Slice 119/155
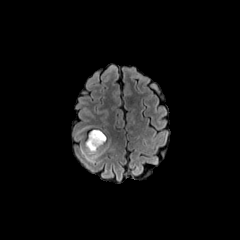
FLAIR magnetic resonance.
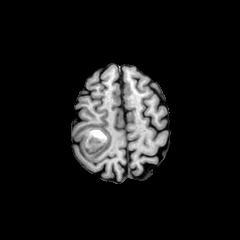
T1-weighted magnetic resonance.
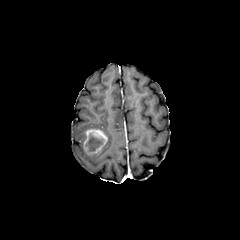
Post-contrast T1-weighted MR image.
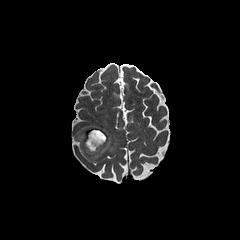
T2-weighted MR of the same slice.
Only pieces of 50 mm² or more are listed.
The largest peritumoral edema region is located at [81, 142, 109, 161]. The enhancing tumor is bounded by [83, 129, 107, 154]. The necrotic tumor core lies within [87, 135, 103, 151].